Image width 240 mm | Head
FLAIR MR image.
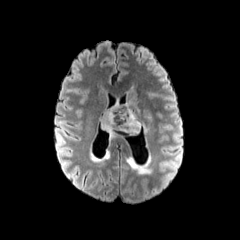
T1-weighted MR.
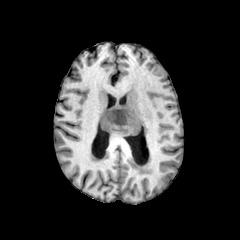
Post-contrast T1-weighted MRI.
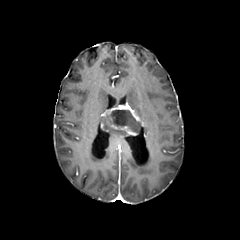
T2-weighted MRI.
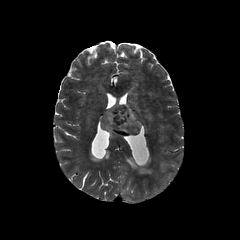
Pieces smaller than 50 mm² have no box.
peritumoral_edema:
  - [126,101,139,115]
  - [101,117,126,138]
necrotic_tumor_core:
  - [110,109,141,132]
enhancing_tumor:
  - [103,103,143,136]